FLAIR magnetic resonance.
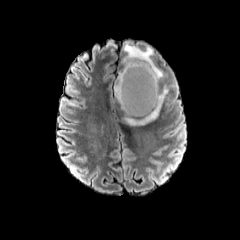
T1-weighted MRI.
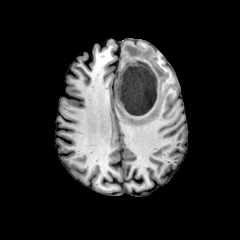
Post-contrast T1-weighted magnetic resonance.
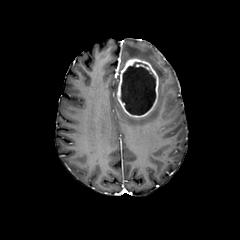
T2-weighted magnetic resonance.
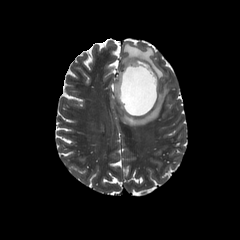
Image size 240x240
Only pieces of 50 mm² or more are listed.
peritumoral edema — [123,42,163,80], [122,85,168,125]
enhancing tumor — [117,58,158,117]
necrotic tumor core — [121,62,155,115]